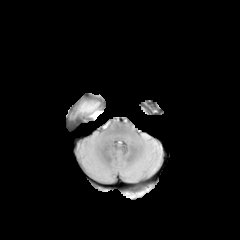
FLAIR MR.
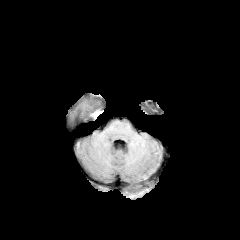
Same slice, T1-weighted MRI.
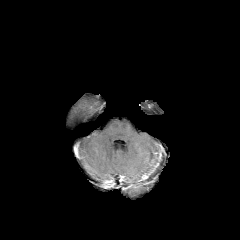
Post-contrast T1-weighted MRI.
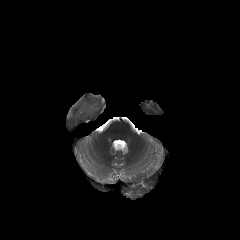
Same slice, T2-weighted MRI.
Brain
peritumoral edema = 70:98:101:119